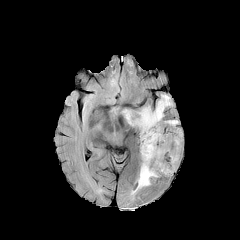
FLAIR MR image.
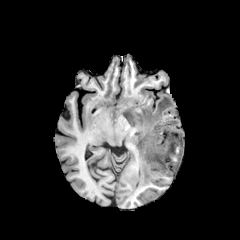
T1-weighted magnetic resonance.
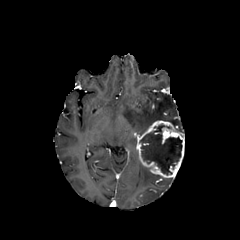
Same slice, post-contrast T1-weighted MRI.
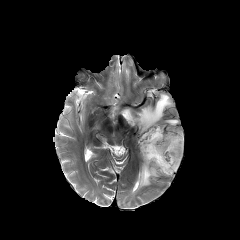
Same slice, T2-weighted MR.
Axial view | Image size 240x240
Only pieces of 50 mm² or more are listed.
necrotic tumor core = bbox(140, 124, 182, 174)
enhancing tumor = bbox(136, 120, 184, 177)
peritumoral edema = bbox(137, 165, 159, 189); bbox(123, 94, 173, 135)